Image width 240 mm; Axial slice
FLAIR MRI.
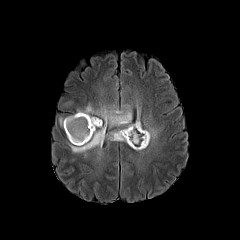
T1-weighted MR image.
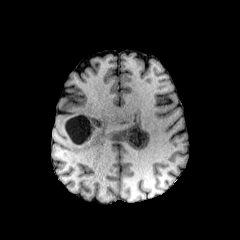
Post-contrast T1-weighted MR.
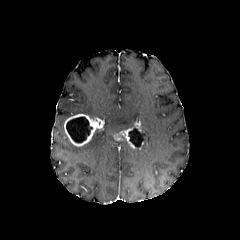
T2-weighted MR image.
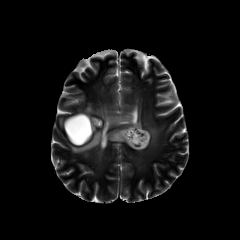
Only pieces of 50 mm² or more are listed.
Findings:
• peritumoral edema: x1=143, y1=123, x2=159, y2=144; x1=69, y1=104, x2=133, y2=155
• enhancing tumor: x1=64, y1=113, x2=103, y2=146; x1=113, y1=121, x2=147, y2=149
• necrotic tumor core: x1=66, y1=117, x2=92, y2=142; x1=128, y1=127, x2=145, y2=146